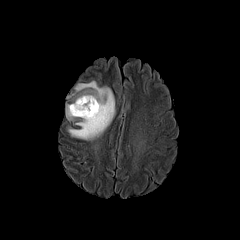
FLAIR MR image.
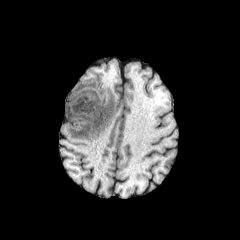
T1-weighted MRI.
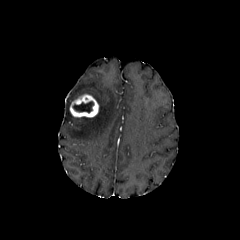
Post-contrast T1-weighted magnetic resonance of the same slice.
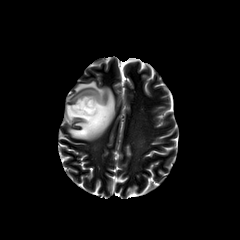
Same slice, T2-weighted MR image.
240x240 px
enhancing_tumor:
  - box=[69, 93, 99, 117]
peritumoral_edema:
  - box=[66, 81, 115, 140]
necrotic_tumor_core:
  - box=[73, 101, 93, 112]